Image size 240x240 | Slice 32/155
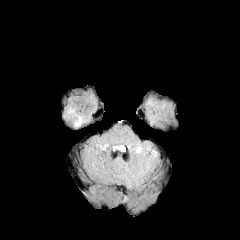
FLAIR MRI.
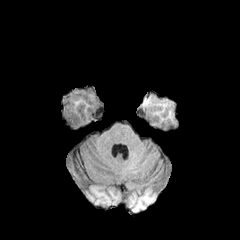
T1-weighted magnetic resonance.
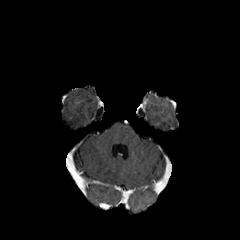
Post-contrast T1-weighted magnetic resonance.
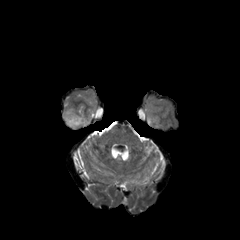
T2-weighted magnetic resonance of the same slice.
peritumoral edema — <box>63,107,81,125</box>